FLAIR magnetic resonance.
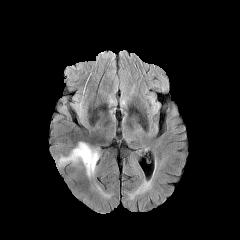
T1-weighted MR.
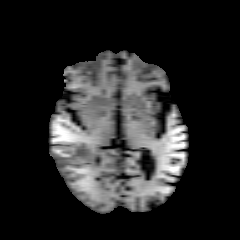
Post-contrast T1-weighted magnetic resonance.
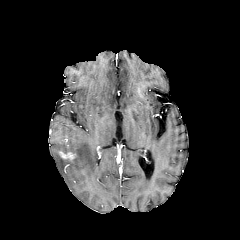
T2-weighted MRI.
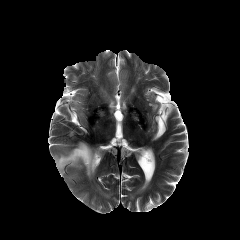
Axial view | Brain
{"enhancing_tumor": ["60:152:76:160"], "peritumoral_edema": ["56:142:98:177"]}